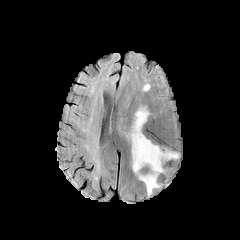
FLAIR MR.
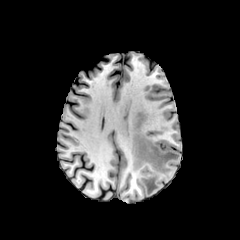
T1-weighted MRI of the same slice.
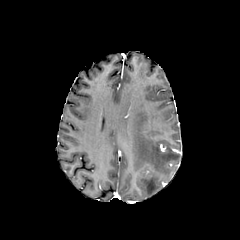
Post-contrast T1-weighted MR image.
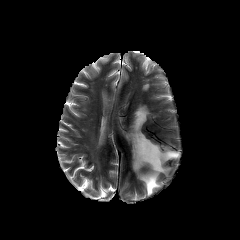
T2-weighted magnetic resonance.
Axial plane
peritumoral edema: (x1=126, y1=106, x2=179, y2=195)